Slice index 99 | Image covers 240 mm x 240 mm | Brain
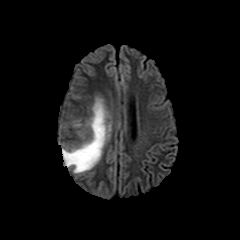
FLAIR magnetic resonance.
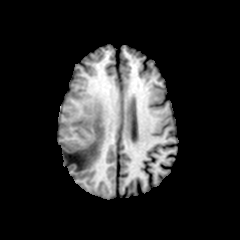
T1-weighted MRI of the same slice.
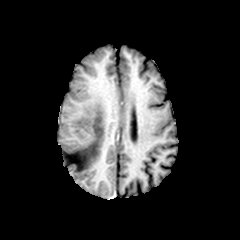
Same slice, post-contrast T1-weighted MR image.
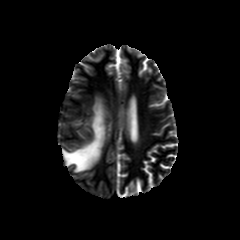
Same slice, T2-weighted MR image.
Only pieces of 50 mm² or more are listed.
Annotated regions:
• peritumoral edema: box(62, 98, 108, 173)